Axial plane, Image width 240 mm, Head
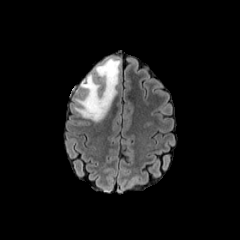
FLAIR MRI.
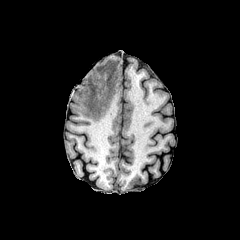
T1-weighted MR of the same slice.
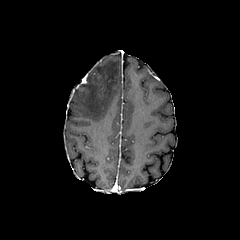
Post-contrast T1-weighted MRI of the same slice.
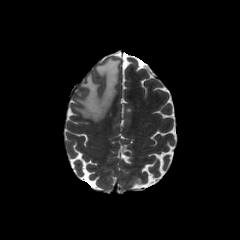
T2-weighted magnetic resonance.
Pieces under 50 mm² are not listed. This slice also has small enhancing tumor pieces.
The peritumoral edema appears at {"x1": 75, "y1": 58, "x2": 120, "y2": 122}.